Slice 44/155
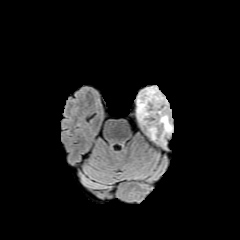
FLAIR magnetic resonance.
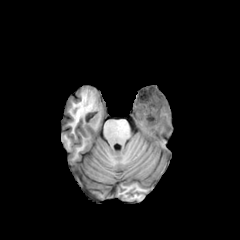
T1-weighted MR image.
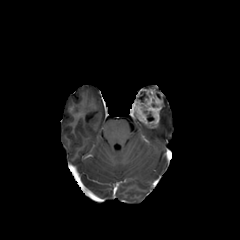
Same slice, post-contrast T1-weighted MRI.
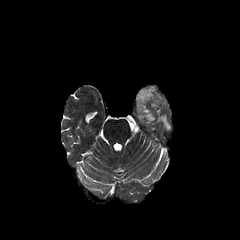
T2-weighted MR image of the same slice.
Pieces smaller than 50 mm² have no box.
2 peritumoral edema regions are bounded by box(159, 97, 171, 132); box(149, 128, 156, 138). The largest necrotic tumor core region lies within box(138, 92, 147, 102). The enhancing tumor lies within box(133, 87, 163, 128).